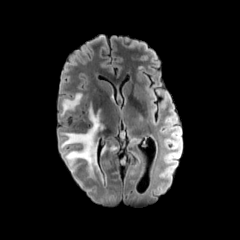
FLAIR magnetic resonance.
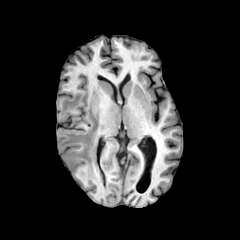
T1-weighted MR image.
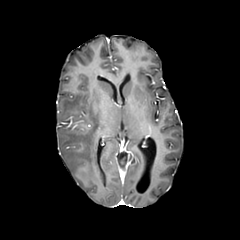
Post-contrast T1-weighted MR of the same slice.
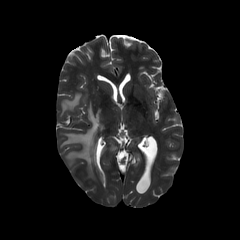
T2-weighted magnetic resonance of the same slice.
Axial view; Brain
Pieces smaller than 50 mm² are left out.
peritumoral edema = {"x1": 61, "y1": 92, "x2": 82, "y2": 115}, {"x1": 61, "y1": 102, "x2": 104, "y2": 174}